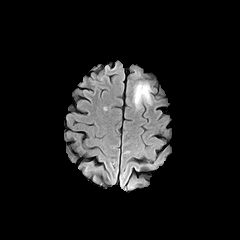
FLAIR MR image.
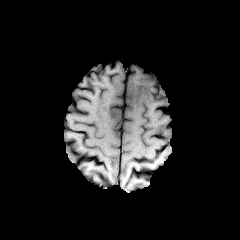
T1-weighted MRI.
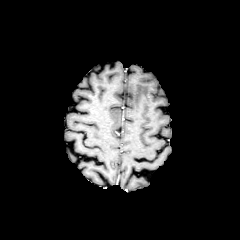
Post-contrast T1-weighted MR.
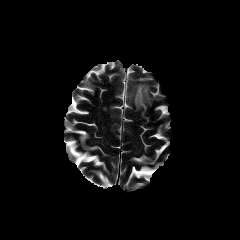
Same slice, T2-weighted MR image.
Axial view. Head.
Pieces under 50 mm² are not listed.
The largest peritumoral edema region lies within box(133, 82, 151, 109).